Head
FLAIR MR image.
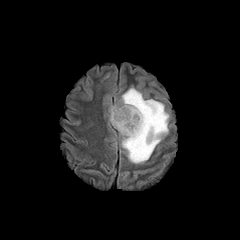
T1-weighted magnetic resonance.
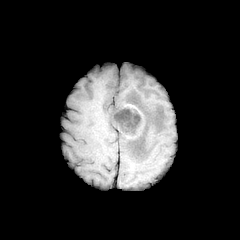
Post-contrast T1-weighted magnetic resonance.
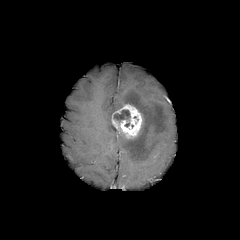
T2-weighted MR.
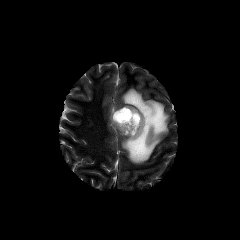
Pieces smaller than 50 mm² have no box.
necrotic tumor core = [114, 110, 130, 120]
enhancing tumor = [111, 104, 142, 138]
peritumoral edema = [109, 87, 169, 163]